FLAIR magnetic resonance.
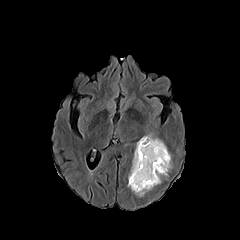
T1-weighted MRI.
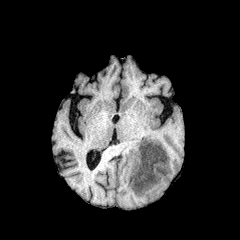
Post-contrast T1-weighted MR image.
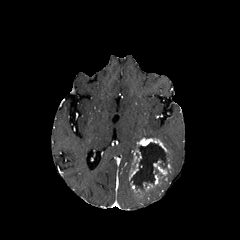
T2-weighted MR.
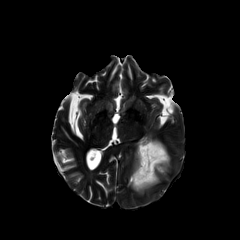
Head.
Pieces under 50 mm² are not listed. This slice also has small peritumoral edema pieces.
<segmentation>
  <enhancing_tumor>(137,138,167,153), (143,174,161,191), (129,149,143,194), (153,159,170,175)</enhancing_tumor>
  <necrotic_tumor_core>(131,142,168,192)</necrotic_tumor_core>
</segmentation>